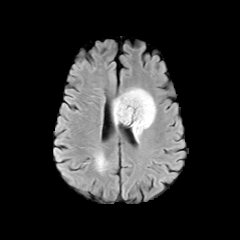
FLAIR MRI.
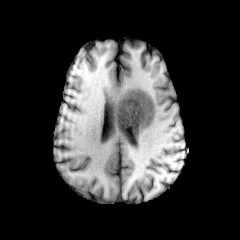
T1-weighted MR of the same slice.
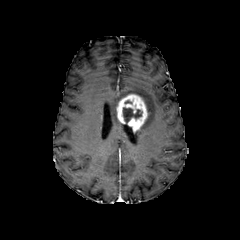
Post-contrast T1-weighted magnetic resonance.
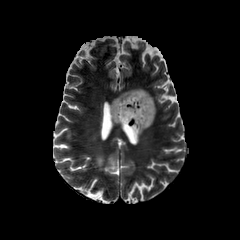
Same slice, T2-weighted MRI.
240x240 px.
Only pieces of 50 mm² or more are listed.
The largest necrotic tumor core region appears at region(123, 108, 141, 121). 2 peritumoral edema regions are located at region(96, 153, 106, 170); region(113, 88, 155, 141). The enhancing tumor is at region(116, 94, 148, 132).